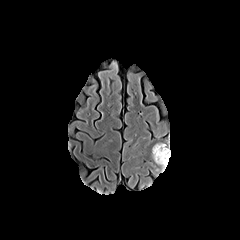
FLAIR MR.
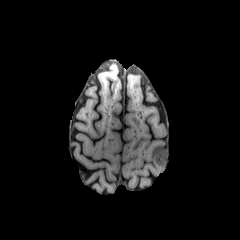
T1-weighted magnetic resonance.
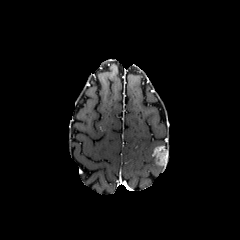
Post-contrast T1-weighted MRI of the same slice.
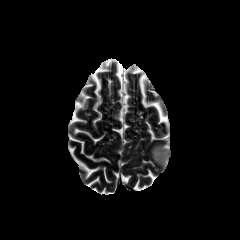
T2-weighted magnetic resonance of the same slice.
Head; Axial plane
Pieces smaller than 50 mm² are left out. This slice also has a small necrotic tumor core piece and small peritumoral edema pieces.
enhancing_tumor:
  - <box>152,145,168,167</box>